Axial view | 240x240 | Image width 240 mm, 1.00 mm slice spacing
FLAIR magnetic resonance.
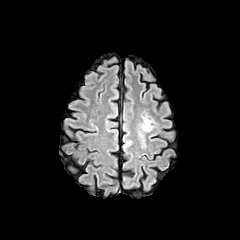
T1-weighted magnetic resonance.
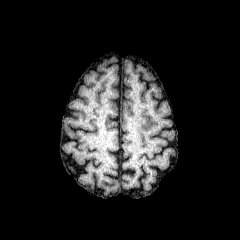
Post-contrast T1-weighted MR image.
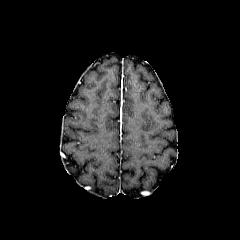
T2-weighted MRI.
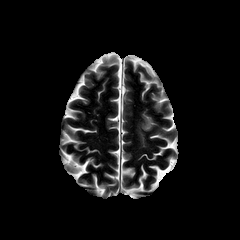
<segmentation>
  <peritumoral_edema>(138,115,154,145)</peritumoral_edema>
</segmentation>